FLAIR MRI.
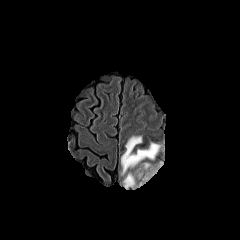
T1-weighted MR.
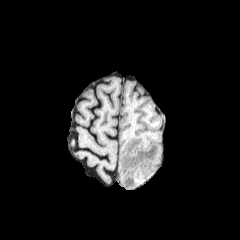
Post-contrast T1-weighted MR.
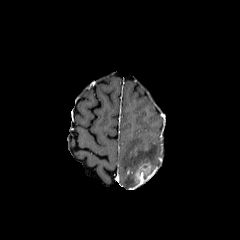
T2-weighted MR.
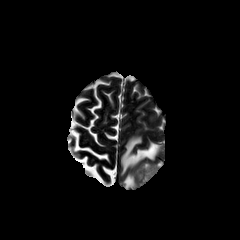
Brain | 240x240
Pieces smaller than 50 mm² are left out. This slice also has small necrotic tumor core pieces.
enhancing tumor: {"x1": 134, "y1": 163, "x2": 156, "y2": 185} | peritumoral edema: {"x1": 123, "y1": 173, "x2": 135, "y2": 188}, {"x1": 121, "y1": 136, "x2": 159, "y2": 175}